FLAIR MRI.
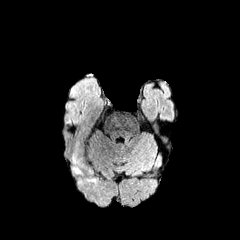
T1-weighted MRI.
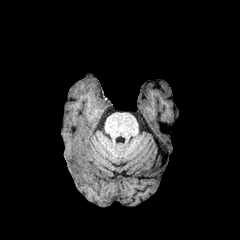
Post-contrast T1-weighted magnetic resonance.
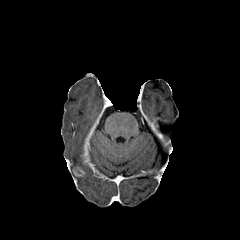
T2-weighted MR image.
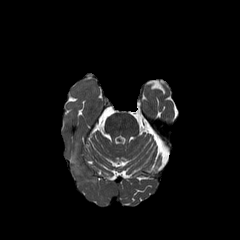
{"peritumoral_edema": ["<box>71,151,79,174</box>", "<box>78,179,96,184</box>"], "enhancing_tumor": ["<box>73,166,84,176</box>"]}